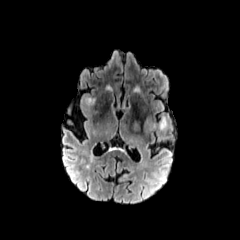
FLAIR MR image.
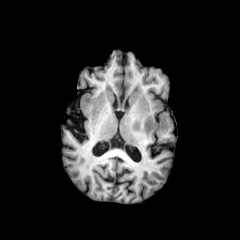
T1-weighted MRI of the same slice.
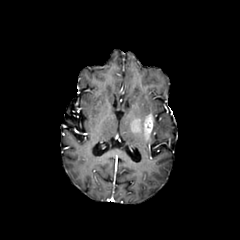
Post-contrast T1-weighted magnetic resonance of the same slice.
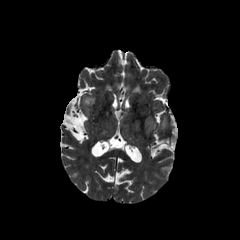
T2-weighted MR image of the same slice.
Axial plane.
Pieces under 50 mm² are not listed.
enhancing tumor: (left=131, top=120, right=140, bottom=131), (left=143, top=114, right=153, bottom=139) | peritumoral edema: (left=159, top=116, right=167, bottom=130)